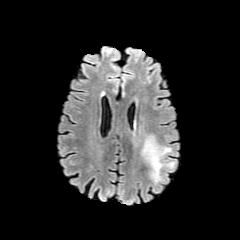
FLAIR MR.
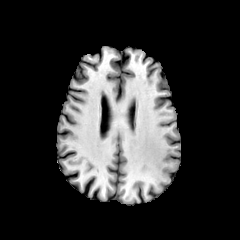
T1-weighted MR.
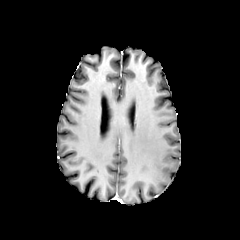
Post-contrast T1-weighted MR of the same slice.
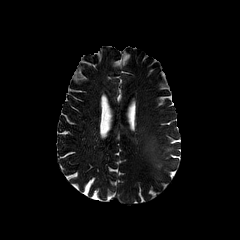
T2-weighted MR of the same slice.
Axial plane.
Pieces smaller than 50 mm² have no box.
The largest peritumoral edema region appears at bbox(142, 140, 171, 179).